Slice index 55, Axial view, Brain
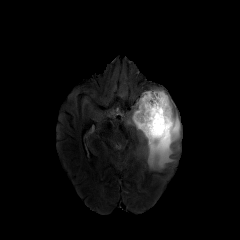
FLAIR MR image.
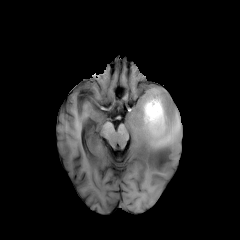
T1-weighted MRI.
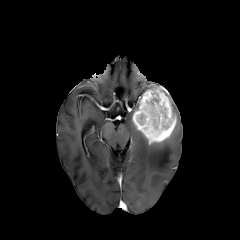
Post-contrast T1-weighted MRI.
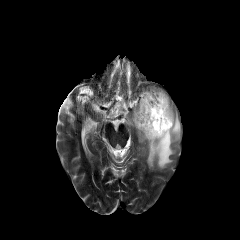
T2-weighted magnetic resonance of the same slice.
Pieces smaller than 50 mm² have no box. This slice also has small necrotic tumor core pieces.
The 2 largest peritumoral edema regions are located at (left=137, top=101, right=181, bottom=169), (left=126, top=99, right=139, bottom=127). The enhancing tumor lies within (left=132, top=87, right=176, bottom=144).